Brain; 240x240; Slice 115 of 155
FLAIR MR.
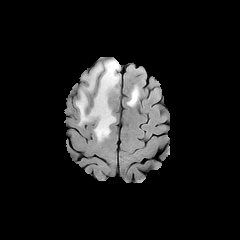
T1-weighted MR image.
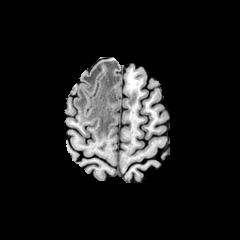
Post-contrast T1-weighted MRI.
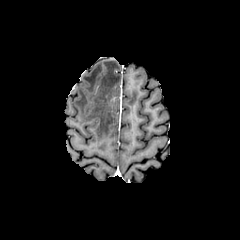
T2-weighted MRI.
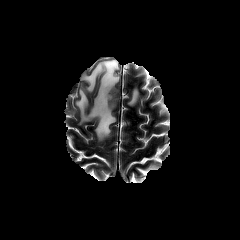
2 peritumoral edema regions appear at 76,60,120,141; 127,86,139,106.